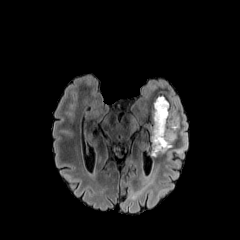
FLAIR magnetic resonance.
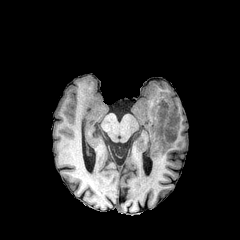
T1-weighted magnetic resonance of the same slice.
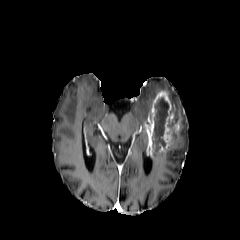
Post-contrast T1-weighted MR image.
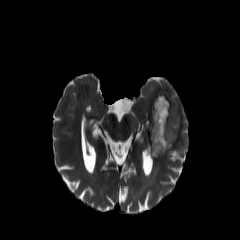
T2-weighted MR.
Axial slice | Head
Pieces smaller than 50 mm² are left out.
necrotic_tumor_core:
  - left=153, top=98, right=168, bottom=152
enhancing_tumor:
  - left=146, top=91, right=180, bottom=159
peritumoral_edema:
  - left=147, top=88, right=188, bottom=163
  - left=175, top=158, right=181, bottom=167